FLAIR magnetic resonance.
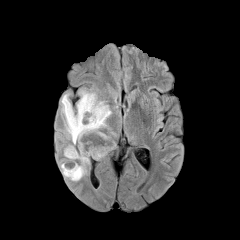
T1-weighted MR.
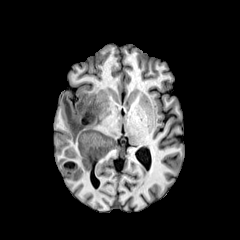
Post-contrast T1-weighted magnetic resonance.
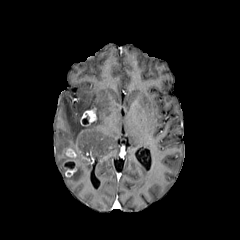
T2-weighted magnetic resonance.
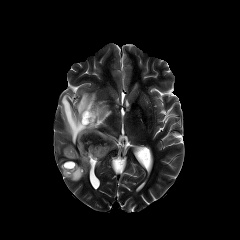
Head; 240x240
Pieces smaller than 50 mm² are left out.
enhancing tumor at 64 160 76 176, 65 148 76 157, 80 108 96 125
peritumoral edema at 60 89 116 181
necrotic tumor core at 63 162 75 169